FLAIR MR image.
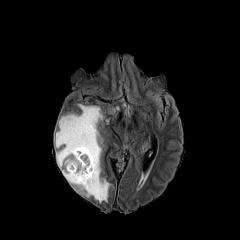
T1-weighted MRI.
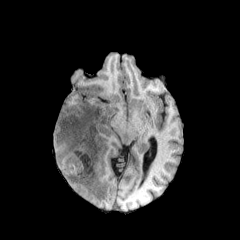
Post-contrast T1-weighted MRI.
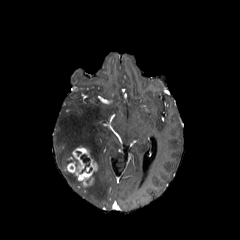
T2-weighted magnetic resonance.
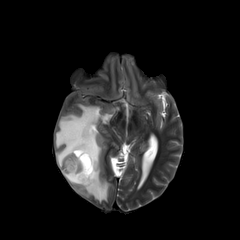
240x240 px | Head | Axial slice
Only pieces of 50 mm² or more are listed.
{"necrotic_tumor_core": ["80 154 90 173"], "peritumoral_edema": ["55 104 110 202"], "enhancing_tumor": ["67 147 97 186"]}